240x240
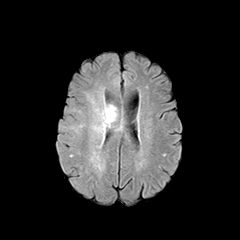
FLAIR MR.
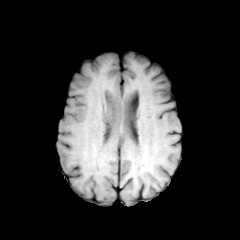
T1-weighted magnetic resonance.
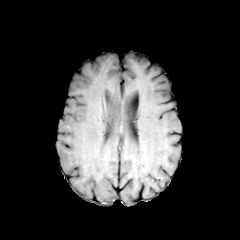
Post-contrast T1-weighted magnetic resonance.
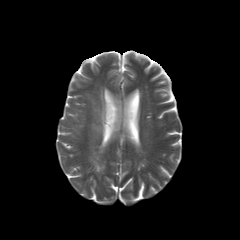
Same slice, T2-weighted magnetic resonance.
The peritumoral edema lies within (left=93, top=96, right=117, bottom=145).